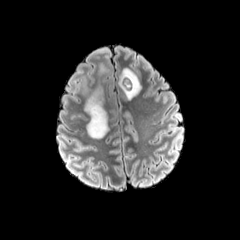
FLAIR magnetic resonance.
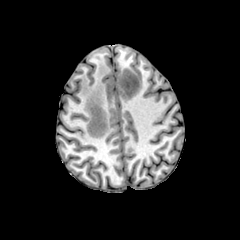
T1-weighted MR of the same slice.
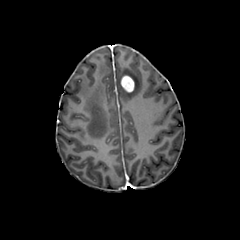
Post-contrast T1-weighted MR image.
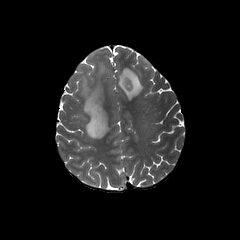
T2-weighted magnetic resonance.
Axial slice. Head.
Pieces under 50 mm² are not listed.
The largest enhancing tumor region is bounded by (121, 75, 134, 92). The necrotic tumor core lies within (124, 77, 132, 90). 2 peritumoral edema regions are bounded by (79, 61, 109, 138), (119, 66, 143, 99).